Slice 70/155
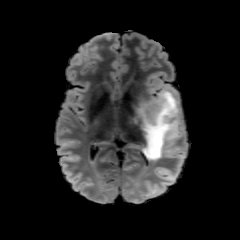
FLAIR magnetic resonance.
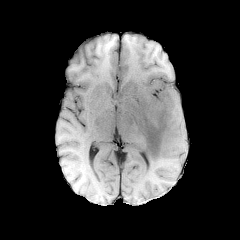
Same slice, T1-weighted MRI.
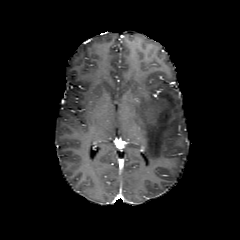
Same slice, post-contrast T1-weighted MRI.
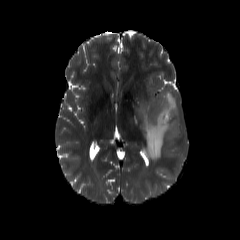
T2-weighted magnetic resonance.
<segmentation>
  <peritumoral_edema>[x1=137, y1=89, x2=183, y2=160]</peritumoral_edema>
</segmentation>